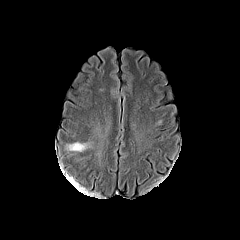
FLAIR magnetic resonance.
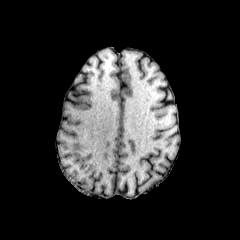
Same slice, T1-weighted MR image.
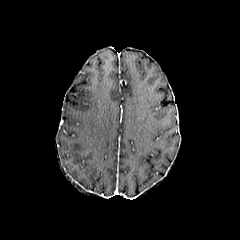
Same slice, post-contrast T1-weighted MR.
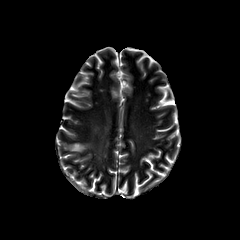
T2-weighted magnetic resonance.
Image size 240x240. Brain.
peritumoral edema — rect(68, 143, 89, 151)